FLAIR MRI.
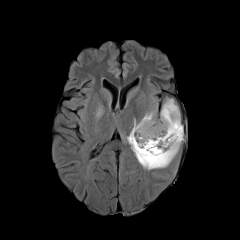
T1-weighted MR.
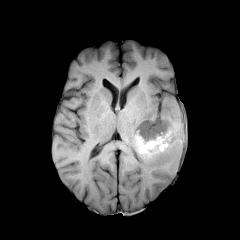
Post-contrast T1-weighted magnetic resonance.
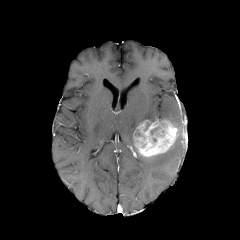
T2-weighted MRI.
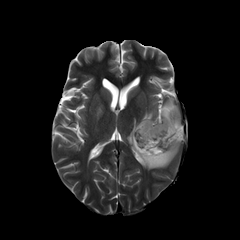
Axial plane. Image size 240x240. Head.
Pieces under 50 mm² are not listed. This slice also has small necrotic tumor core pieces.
<segmentation>
  <peritumoral_edema>region(94, 103, 104, 119); region(124, 98, 183, 170)</peritumoral_edema>
  <enhancing_tumor>region(135, 120, 177, 156)</enhancing_tumor>
</segmentation>